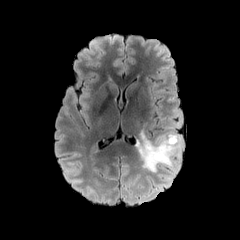
FLAIR magnetic resonance.
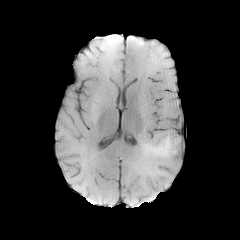
T1-weighted MR image.
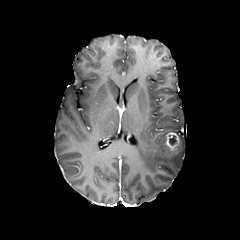
Same slice, post-contrast T1-weighted MRI.
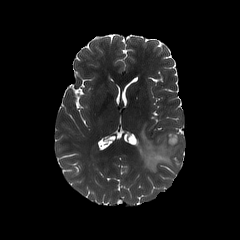
T2-weighted magnetic resonance of the same slice.
Axial plane.
Annotated regions:
- necrotic tumor core: <box>169,135,176,144</box>
- peritumoral edema: <box>135,129,182,179</box>
- enhancing tumor: <box>165,132,179,150</box>